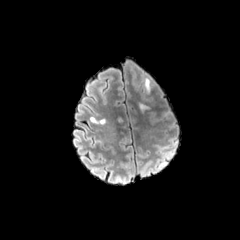
FLAIR MR.
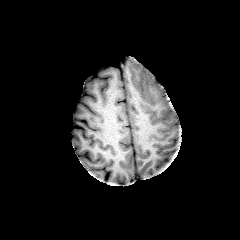
T1-weighted MR image.
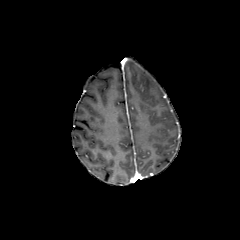
Same slice, post-contrast T1-weighted MRI.
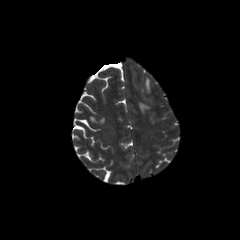
T2-weighted MR of the same slice.
Brain
Findings:
- peritumoral edema: [x1=139, y1=104, x2=148, y2=111], [x1=144, y1=77, x2=150, y2=93]